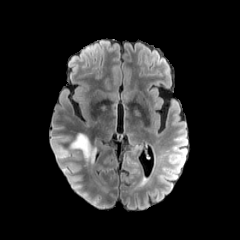
FLAIR MR.
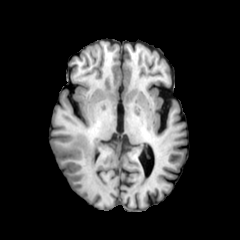
T1-weighted magnetic resonance of the same slice.
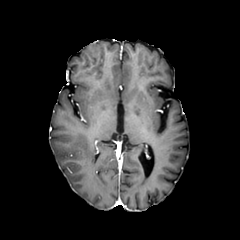
Post-contrast T1-weighted magnetic resonance.
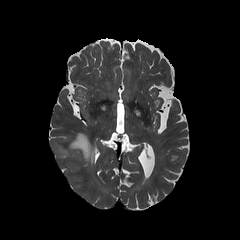
Same slice, T2-weighted MRI.
Axial view
peritumoral edema = (x1=71, y1=135, x2=95, y2=158), (x1=57, y1=147, x2=68, y2=158)